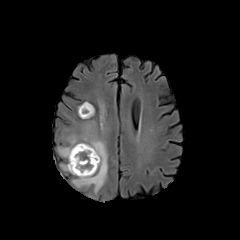
FLAIR MRI.
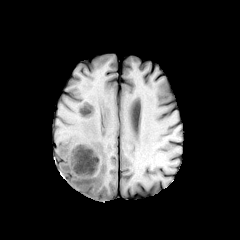
T1-weighted MR image.
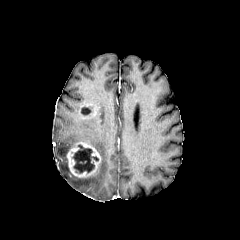
Post-contrast T1-weighted MR image.
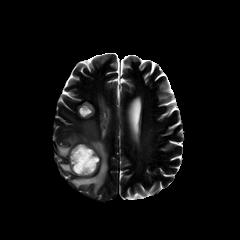
T2-weighted MR image of the same slice.
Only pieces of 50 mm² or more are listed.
peritumoral edema: bounding box x1=60, y1=164, x2=69, y2=171; x1=57, y1=121, x2=107, y2=194
enhancing tumor: bounding box x1=79, y1=103, x2=95, y2=118; x1=67, y1=142, x2=100, y2=177
necrotic tumor core: bounding box x1=81, y1=106, x2=91, y2=115; x1=72, y1=144, x2=98, y2=173